FLAIR magnetic resonance.
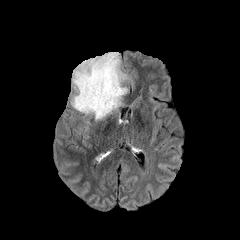
T1-weighted magnetic resonance.
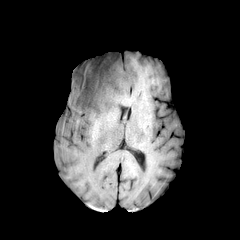
Post-contrast T1-weighted MRI.
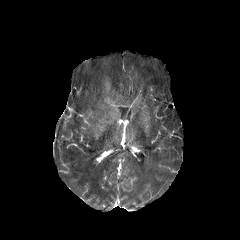
T2-weighted MR image.
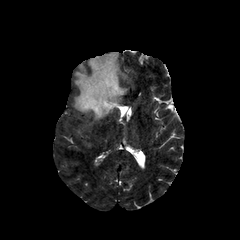
240x240 px
The peritumoral edema is bounded by bbox=[71, 52, 127, 120].